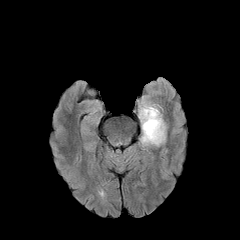
FLAIR MR image.
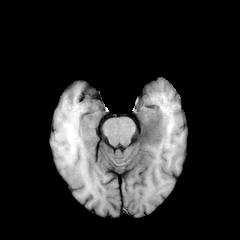
T1-weighted MRI.
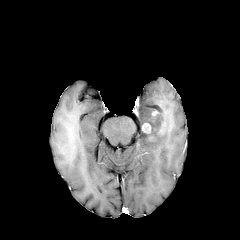
Post-contrast T1-weighted MR image of the same slice.
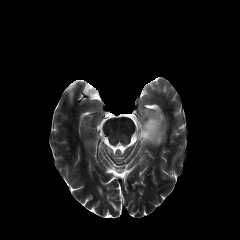
T2-weighted magnetic resonance of the same slice.
Axial slice
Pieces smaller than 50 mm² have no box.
enhancing_tumor:
  - bbox(142, 123, 156, 140)
  - bbox(156, 122, 165, 135)
  - bbox(150, 110, 158, 121)
peritumoral_edema:
  - bbox(140, 131, 165, 146)
  - bbox(139, 106, 163, 130)